Slice 66/155 | Image width 240 mm
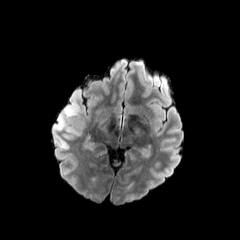
FLAIR MR image.
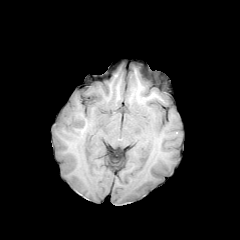
T1-weighted magnetic resonance of the same slice.
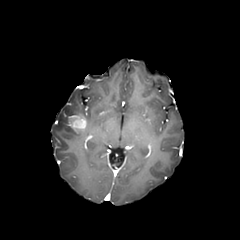
Post-contrast T1-weighted magnetic resonance.
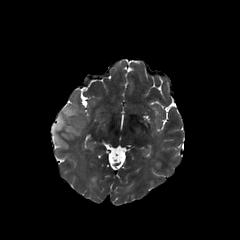
T2-weighted MR.
{"enhancing_tumor": ["68, 114, 86, 132"], "peritumoral_edema": ["56, 104, 81, 139"]}